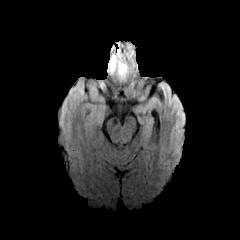
FLAIR magnetic resonance.
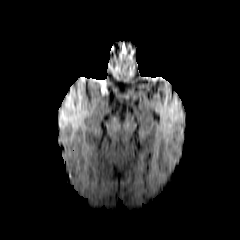
T1-weighted MR image.
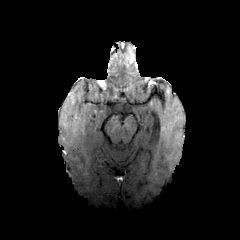
Post-contrast T1-weighted MR.
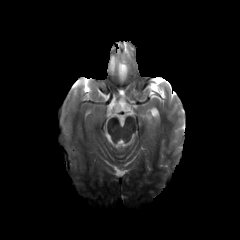
T2-weighted magnetic resonance of the same slice.
Image size 240x240. Head.
peritumoral edema: bounding box {"x1": 110, "y1": 57, "x2": 126, "y2": 76}